Slice 90/155 | Image size 240x240
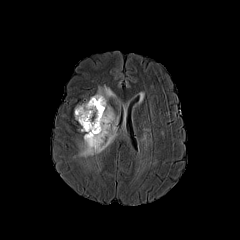
FLAIR MR image.
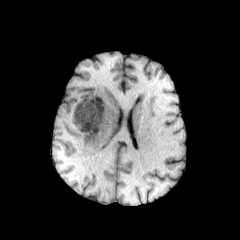
Same slice, T1-weighted MR image.
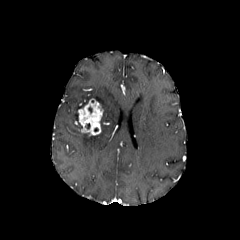
Post-contrast T1-weighted MRI.
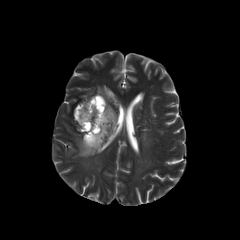
T2-weighted MRI.
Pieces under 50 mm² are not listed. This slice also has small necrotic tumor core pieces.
<segmentation>
  <enhancing_tumor>region(77, 98, 103, 135)</enhancing_tumor>
  <peritumoral_edema>region(79, 85, 117, 157); region(74, 101, 88, 120)</peritumoral_edema>
</segmentation>